Axial view, Image width 240 mm, Head
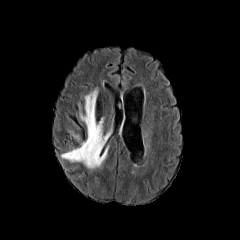
FLAIR MR image.
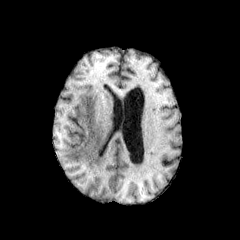
Same slice, T1-weighted MR.
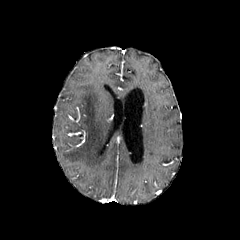
Post-contrast T1-weighted MR image of the same slice.
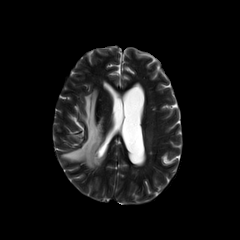
Same slice, T2-weighted MR image.
peritumoral edema at x1=61, y1=89, x2=108, y2=168